FLAIR MR.
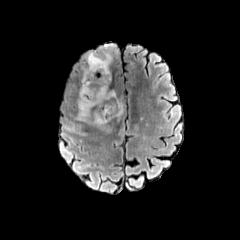
T1-weighted MRI.
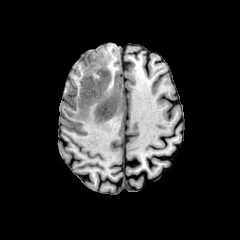
Post-contrast T1-weighted magnetic resonance.
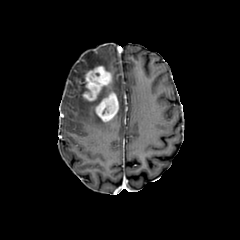
T2-weighted magnetic resonance.
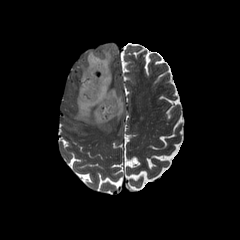
Axial slice
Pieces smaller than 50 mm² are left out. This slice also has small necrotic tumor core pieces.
peritumoral edema: (93,112,106,125), (116,98,123,116), (76,50,112,121)
enhancing tumor: (95,91,118,121), (82,66,111,101)